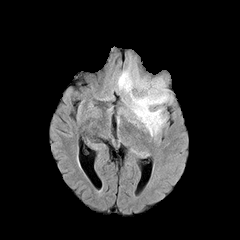
FLAIR MR image.
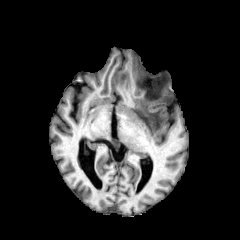
Same slice, T1-weighted magnetic resonance.
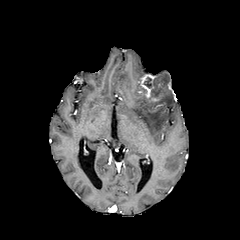
Post-contrast T1-weighted MRI.
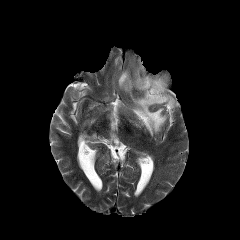
Same slice, T2-weighted magnetic resonance.
240x240 px | Axial view
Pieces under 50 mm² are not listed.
<segmentation>
  <peritumoral_edema>[117, 60, 172, 136]</peritumoral_edema>
  <enhancing_tumor>[138, 74, 162, 101]</enhancing_tumor>
  <necrotic_tumor_core>[144, 77, 163, 97]</necrotic_tumor_core>
</segmentation>